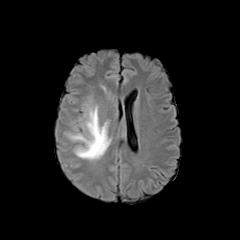
FLAIR magnetic resonance.
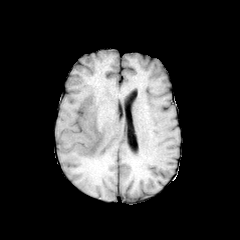
Same slice, T1-weighted MRI.
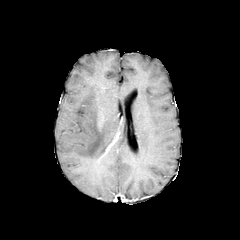
Post-contrast T1-weighted MRI of the same slice.
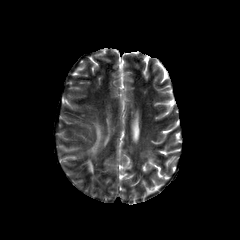
T2-weighted MR.
The peritumoral edema is bounded by (68, 106, 111, 160).